FLAIR MR image.
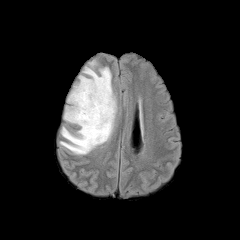
T1-weighted MR.
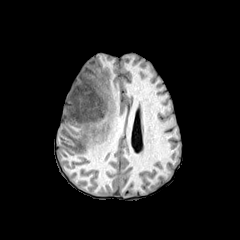
Post-contrast T1-weighted magnetic resonance.
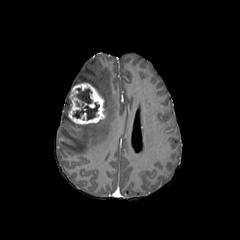
T2-weighted MR.
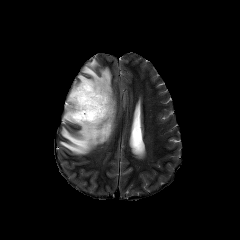
Brain
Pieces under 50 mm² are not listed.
enhancing tumor: 68:82:106:124 | necrotic tumor core: 73:88:99:119 | peritumoral edema: 60:60:116:154, 63:96:74:123